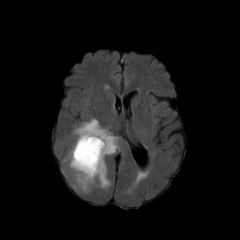
FLAIR magnetic resonance.
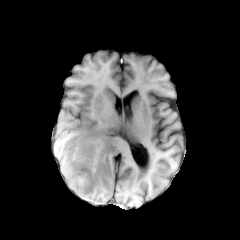
Same slice, T1-weighted MR image.
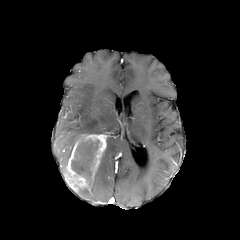
Post-contrast T1-weighted magnetic resonance.
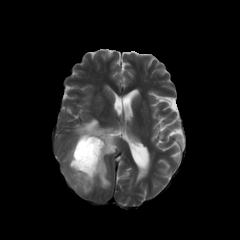
T2-weighted MRI.
Axial slice, Brain
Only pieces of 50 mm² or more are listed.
The 2 largest peritumoral edema regions are located at [74, 118, 118, 188], [63, 147, 72, 163]. The necrotic tumor core lies within [71, 139, 99, 176]. The enhancing tumor lies within [64, 134, 107, 191].